Head, Axial slice, 240x240 px, Slice 56/155, Image width 240 mm, 1.00 mm slice spacing
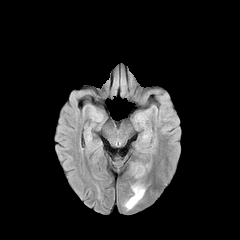
FLAIR MRI.
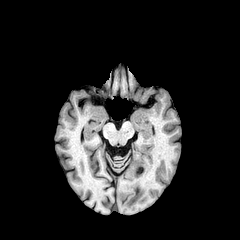
T1-weighted magnetic resonance.
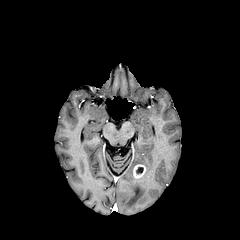
Post-contrast T1-weighted magnetic resonance of the same slice.
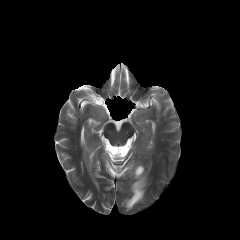
T2-weighted MRI of the same slice.
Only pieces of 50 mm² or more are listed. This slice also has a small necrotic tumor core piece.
The enhancing tumor is at box(133, 165, 145, 178). The peritumoral edema is at box(124, 182, 145, 209).